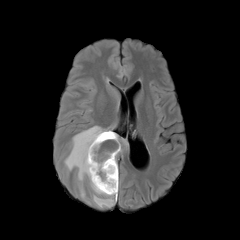
FLAIR MR.
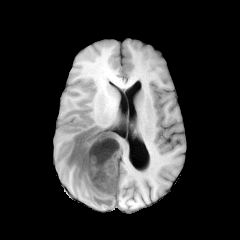
T1-weighted MR.
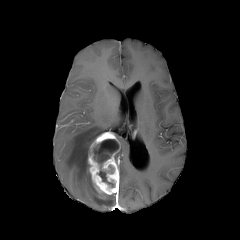
Same slice, post-contrast T1-weighted magnetic resonance.
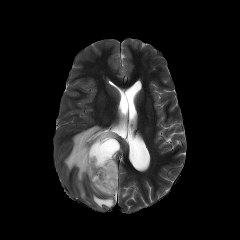
T2-weighted MR.
Image size 240x240
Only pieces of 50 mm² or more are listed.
peritumoral edema = <box>64,125,116,207</box>, <box>115,133,128,146</box>
necrotic tumor core = <box>99,171,114,186</box>, <box>93,139,119,163</box>
enhancing tumor = <box>87,131,120,196</box>